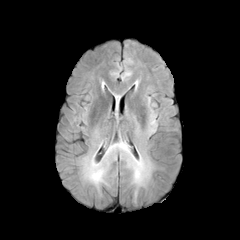
FLAIR MR.
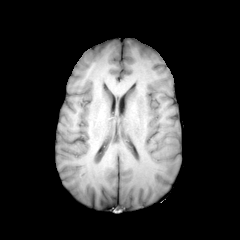
T1-weighted MRI.
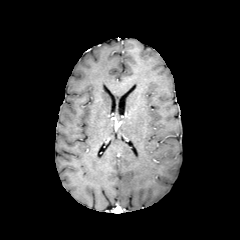
Same slice, post-contrast T1-weighted magnetic resonance.
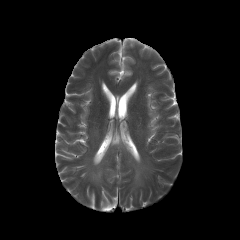
Same slice, T2-weighted MR.
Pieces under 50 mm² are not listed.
The 2 largest peritumoral edema regions are located at 106, 141, 150, 187; 86, 160, 104, 183.